Image covers 240 mm x 240 mm, Slice 119/155
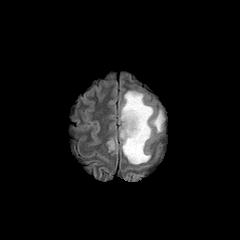
FLAIR MR.
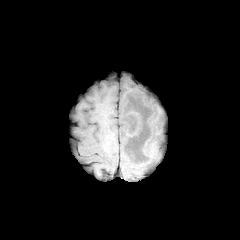
T1-weighted MR.
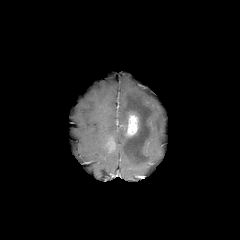
Post-contrast T1-weighted MR image.
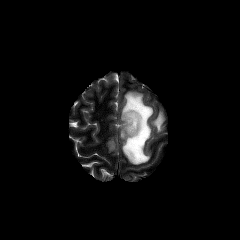
Same slice, T2-weighted MR image.
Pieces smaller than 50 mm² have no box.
The largest peritumoral edema region lies within box(119, 91, 164, 164). 2 enhancing tumor regions are located at box(120, 113, 138, 136); box(108, 140, 114, 149).